Slice 108/155
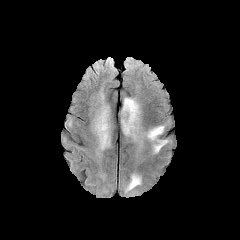
FLAIR MRI.
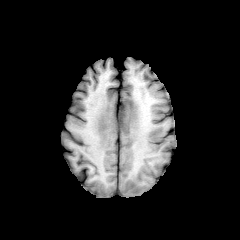
T1-weighted MR of the same slice.
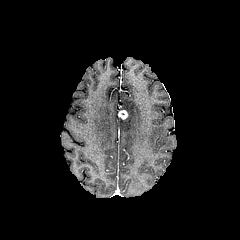
Post-contrast T1-weighted magnetic resonance of the same slice.
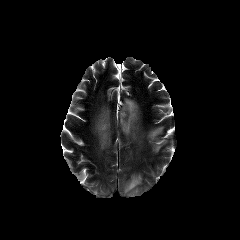
Same slice, T2-weighted magnetic resonance.
{
  "peritumoral_edema": [
    "box=[147, 126, 167, 152]",
    "box=[125, 174, 141, 195]",
    "box=[121, 98, 140, 139]",
    "box=[94, 106, 110, 149]"
  ],
  "enhancing_tumor": [
    "box=[119, 110, 127, 119]"
  ]
}